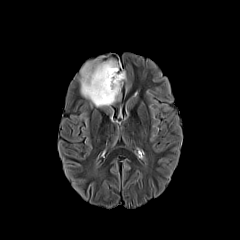
FLAIR MR.
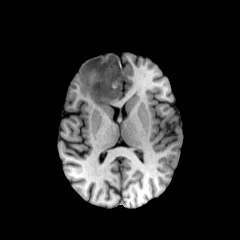
T1-weighted magnetic resonance.
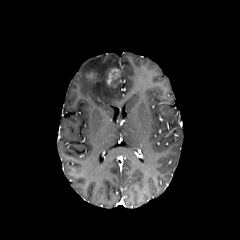
Post-contrast T1-weighted MRI.
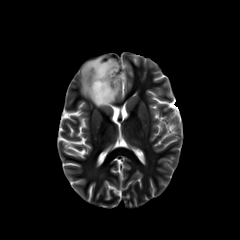
Same slice, T2-weighted magnetic resonance.
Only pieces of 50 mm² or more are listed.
{"peritumoral_edema": ["79, 56, 126, 107"], "enhancing_tumor": ["106, 68, 120, 85"]}